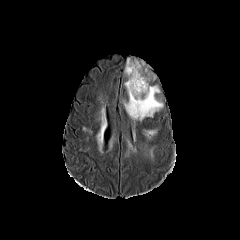
FLAIR MR image.
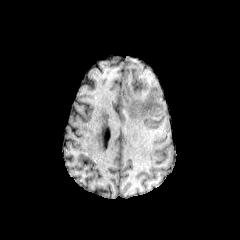
T1-weighted MR.
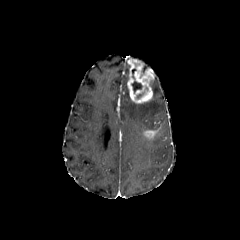
Post-contrast T1-weighted MRI of the same slice.
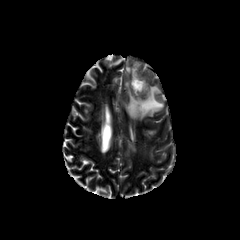
Same slice, T2-weighted MR image.
Brain; Axial view
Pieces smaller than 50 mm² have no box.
enhancing tumor: l=144, t=130, r=156, b=138; l=127, t=58, r=154, b=103 | necrotic tumor core: l=132, t=82, r=141, b=93 | peritumoral edema: l=144, t=144, r=153, b=158; l=123, t=65, r=163, b=120